FLAIR MR.
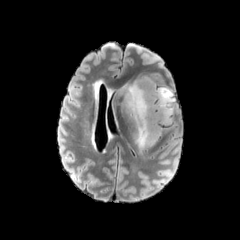
T1-weighted MR image.
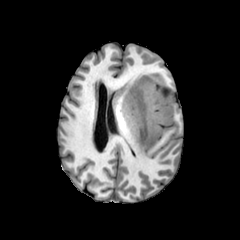
Post-contrast T1-weighted magnetic resonance.
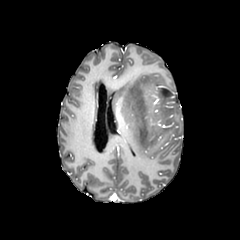
T2-weighted MR.
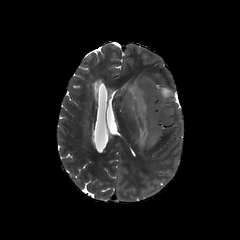
240x240
<segmentation>
  <peritumoral_edema><box>118,75,175,152</box></peritumoral_edema>
</segmentation>